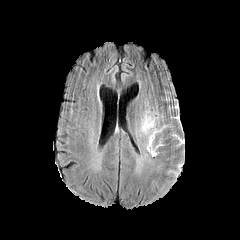
FLAIR MR image.
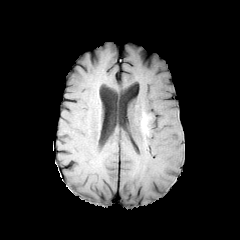
T1-weighted magnetic resonance.
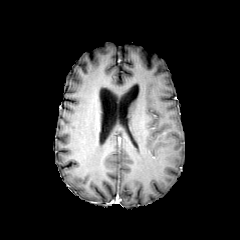
Same slice, post-contrast T1-weighted MR image.
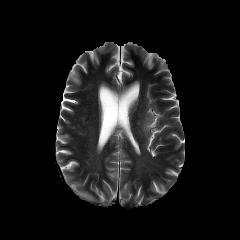
T2-weighted MRI.
Head; Axial plane
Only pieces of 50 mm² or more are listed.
peritumoral edema: bounding box 147:129:160:150, 143:120:154:129